Slice 97/155; Axial plane; Image size 240x240; Brain; Image width 240 mm
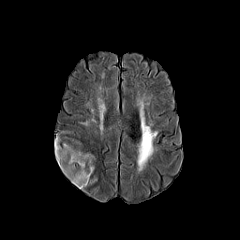
FLAIR MR.
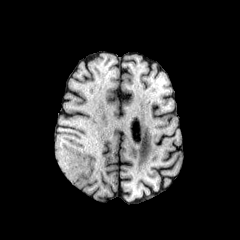
T1-weighted MR image of the same slice.
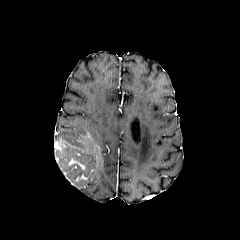
Post-contrast T1-weighted MRI.
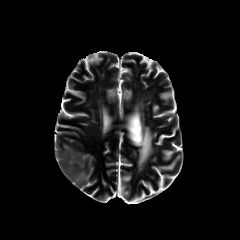
T2-weighted magnetic resonance.
peritumoral edema = [55,131,93,188]
enhancing tumor = [69,158,84,169]